Head | Image width 240 mm, 1.00 mm slice spacing | Slice 91 of 155 | Axial slice
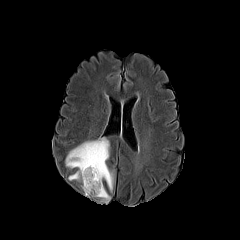
FLAIR MR.
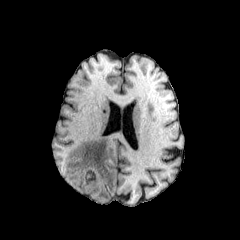
T1-weighted MR image.
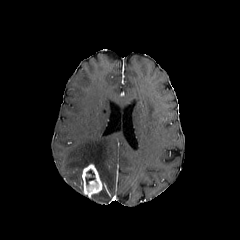
Same slice, post-contrast T1-weighted magnetic resonance.
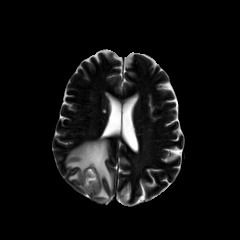
T2-weighted MR image.
enhancing tumor: bbox(81, 164, 102, 196)
peritumoral edema: bbox(65, 138, 113, 191); bbox(92, 186, 110, 202)
necrotic tumor core: bbox(86, 170, 95, 184)